Slice 99/155 | 240x240 px
FLAIR MR.
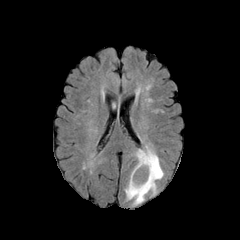
T1-weighted MR image.
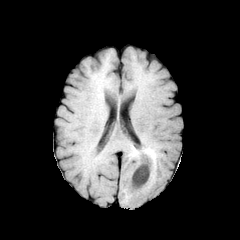
Post-contrast T1-weighted MR image.
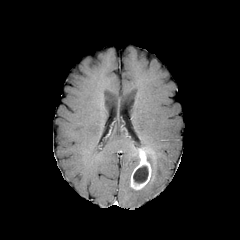
T2-weighted magnetic resonance.
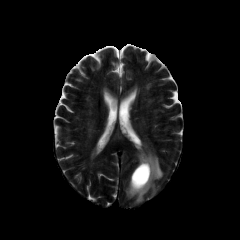
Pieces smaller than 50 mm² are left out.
The enhancing tumor is located at 130:150:151:190. The necrotic tumor core is at 133:166:148:183. The largest peritumoral edema region is bounded by 125:146:163:206.